FLAIR MR image.
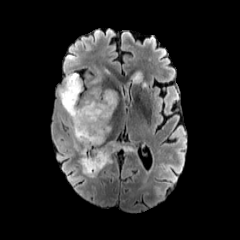
T1-weighted MRI.
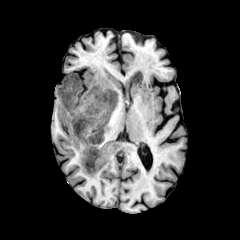
Post-contrast T1-weighted MRI.
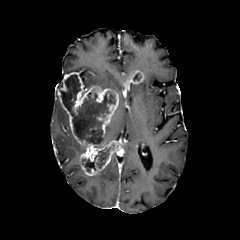
T2-weighted magnetic resonance.
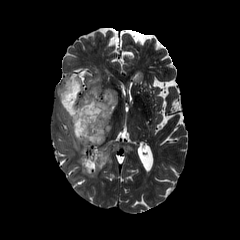
Head | 240x240 px
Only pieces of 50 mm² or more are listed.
The 2 largest enhancing tumor regions appear at l=130, t=70, r=143, b=83; l=57, t=72, r=120, b=175. The 3 largest peritumoral edema regions are located at l=90, t=70, r=101, b=85; l=73, t=136, r=84, b=153; l=116, t=141, r=133, b=151. The 3 largest necrotic tumor core regions appear at l=82, t=159, r=95, b=172; l=94, t=147, r=110, b=168; l=60, t=74, r=115, b=144.